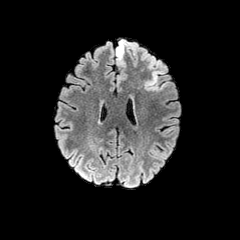
FLAIR MRI.
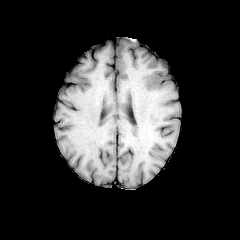
Same slice, T1-weighted MR.
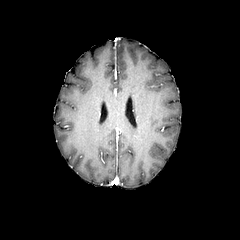
Post-contrast T1-weighted magnetic resonance of the same slice.
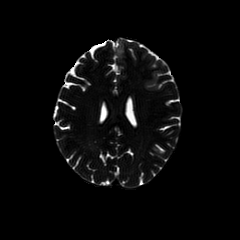
T2-weighted MR.
Brain.
* peritumoral edema: (144,70,165,90), (116,39,126,63)